Brain. Image width 240 mm.
FLAIR MR image.
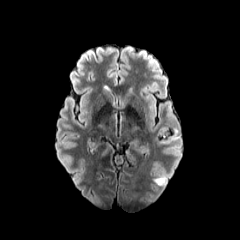
T1-weighted MR.
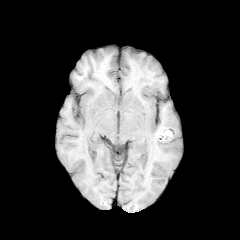
Post-contrast T1-weighted magnetic resonance.
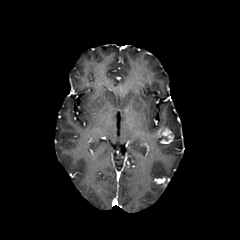
T2-weighted MR image.
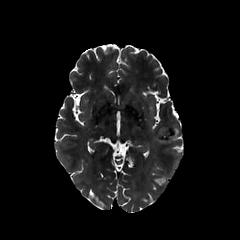
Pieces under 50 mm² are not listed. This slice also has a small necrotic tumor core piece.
enhancing_tumor:
  - [158, 128, 173, 144]
  - [154, 178, 165, 185]
peritumoral_edema:
  - [174, 127, 179, 140]